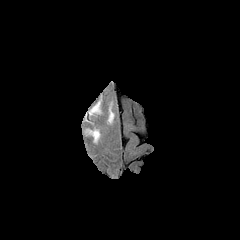
FLAIR MR.
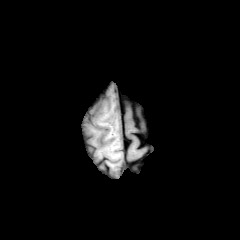
T1-weighted MR.
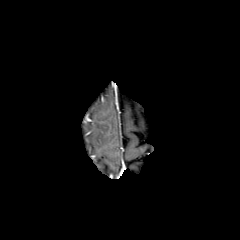
Post-contrast T1-weighted MRI of the same slice.
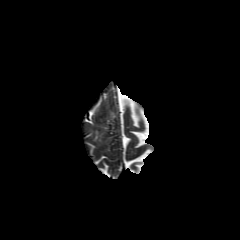
Same slice, T2-weighted MRI.
Axial view, Brain
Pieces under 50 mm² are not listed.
peritumoral edema: box(90, 103, 99, 114); box(93, 131, 99, 141)